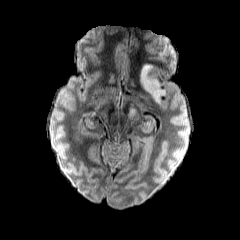
FLAIR MR.
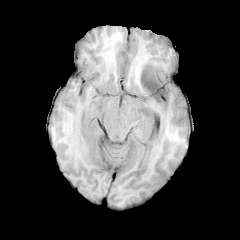
T1-weighted MR image of the same slice.
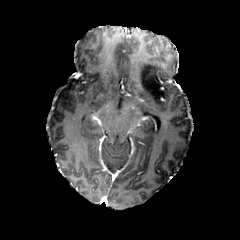
Post-contrast T1-weighted MRI.
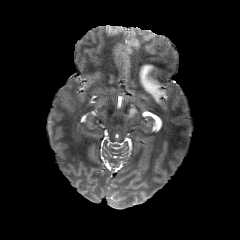
T2-weighted MRI.
Axial plane
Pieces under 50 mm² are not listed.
peritumoral edema — left=140, top=63, right=165, bottom=103